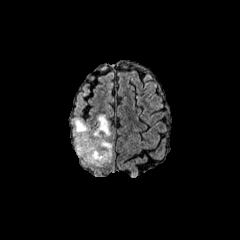
FLAIR MR image.
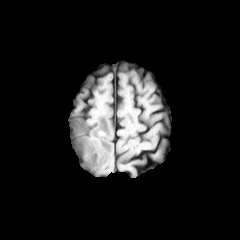
T1-weighted magnetic resonance of the same slice.
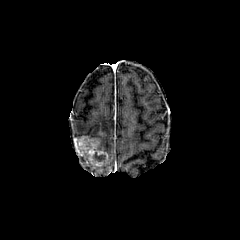
Post-contrast T1-weighted MR.
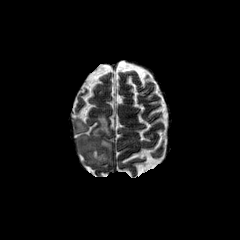
T2-weighted magnetic resonance.
Segmented structures:
- necrotic tumor core: box=[93, 152, 105, 161]
- peritumoral edema: box=[91, 114, 112, 162]; box=[74, 119, 89, 137]
- enhancing tumor: box=[74, 135, 108, 166]